Image width 240 mm, 1.00 mm slice spacing. Slice index 39. Axial slice.
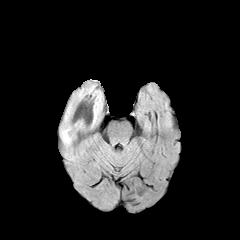
FLAIR MR image.
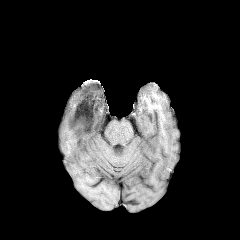
T1-weighted MRI.
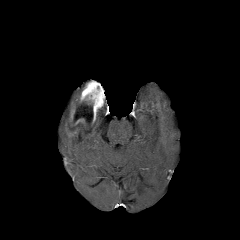
Post-contrast T1-weighted MR.
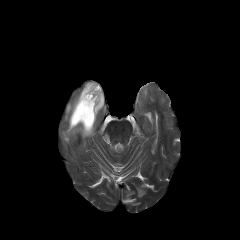
T2-weighted magnetic resonance.
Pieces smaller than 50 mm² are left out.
peritumoral edema: bounding box [93,107,102,127], [60,89,96,144]
necrotic tumor core: bounding box [73,102,92,133]
enhancing tumor: bounding box [67,127,80,136], [68,81,104,129]